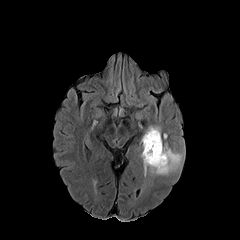
FLAIR MR.
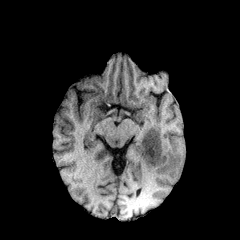
Same slice, T1-weighted magnetic resonance.
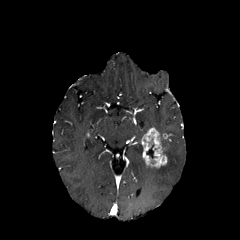
Post-contrast T1-weighted MR image of the same slice.
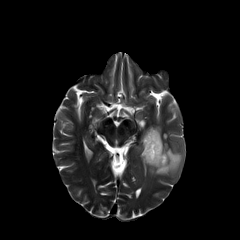
T2-weighted MRI.
Axial plane.
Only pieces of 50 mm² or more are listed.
<segmentation>
  <enhancing_tumor><bbox>141, 127, 167, 168</bbox></enhancing_tumor>
  <necrotic_tumor_core><bbox>146, 144, 154, 158</bbox></necrotic_tumor_core>
  <peritumoral_edema><bbox>143, 143, 182, 176</bbox></peritumoral_edema>
</segmentation>